FLAIR MR.
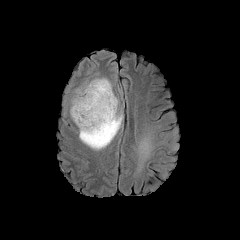
T1-weighted magnetic resonance.
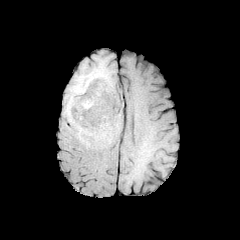
Post-contrast T1-weighted magnetic resonance.
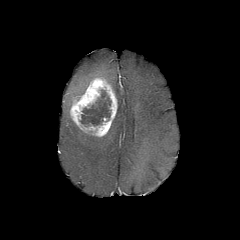
T2-weighted magnetic resonance.
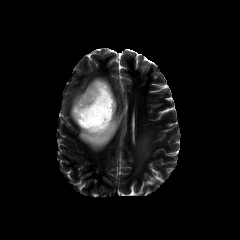
Brain, 240x240
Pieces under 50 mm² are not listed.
* peritumoral edema: <bbox>69, 82, 122, 150</bbox>, <bbox>134, 127, 178, 174</bbox>, <bbox>95, 76, 116, 97</bbox>
* enhancing tumor: <bbox>70, 78, 117, 136</bbox>
* necrotic tumor core: <bbox>80, 89, 111, 126</bbox>